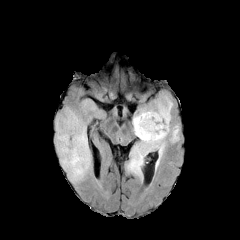
FLAIR MRI.
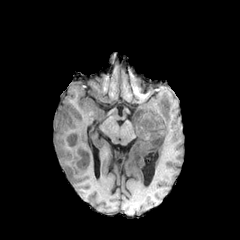
Same slice, T1-weighted MR image.
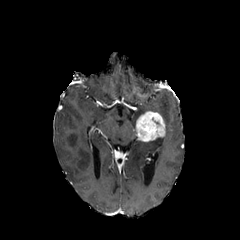
Post-contrast T1-weighted MRI.
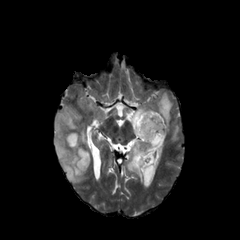
T2-weighted MR image.
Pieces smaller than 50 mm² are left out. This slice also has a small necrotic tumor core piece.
Annotated regions:
• peritumoral edema: x1=126, y1=93, x2=179, y2=180; x1=54, y1=106, x2=91, y2=182
• enhancing tumor: x1=134, y1=111, x2=165, y2=142